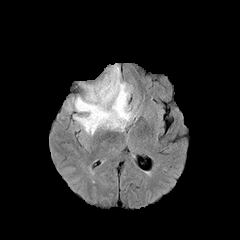
FLAIR magnetic resonance.
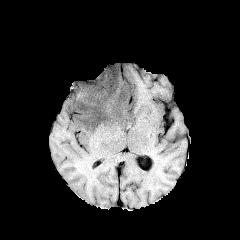
T1-weighted MR.
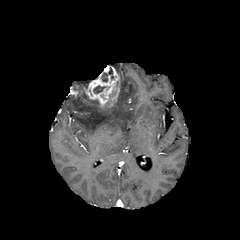
Same slice, post-contrast T1-weighted MRI.
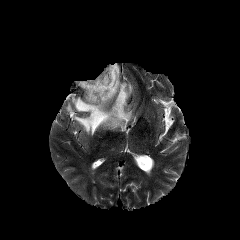
T2-weighted MR image.
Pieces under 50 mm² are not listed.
Findings:
• peritumoral edema: (x1=72, y1=82, x2=135, y2=135)
• necrotic tumor core: (x1=93, y1=86, x2=105, y2=93)
• enhancing tumor: (x1=83, y1=65, x2=120, y2=108)